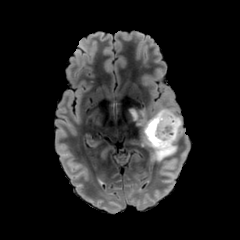
FLAIR magnetic resonance.
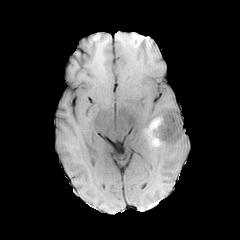
T1-weighted MR image.
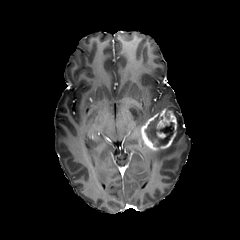
Post-contrast T1-weighted MR of the same slice.
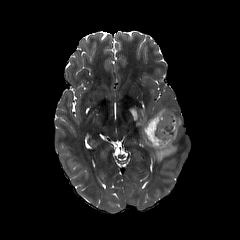
T2-weighted MR of the same slice.
Brain
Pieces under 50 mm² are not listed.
enhancing tumor: bounding box 139, 108, 177, 151
peritumoral edema: bounding box 129, 105, 182, 162
necrotic tumor core: bounding box 145, 114, 173, 146